Brain, 240x240 px, Slice 59 of 155
FLAIR magnetic resonance.
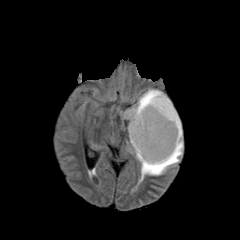
T1-weighted MR.
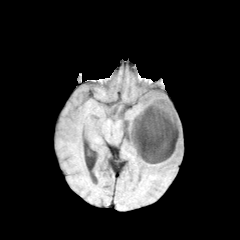
Post-contrast T1-weighted MRI.
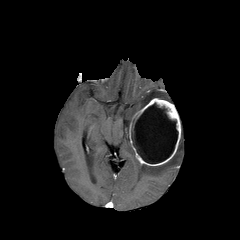
T2-weighted MRI.
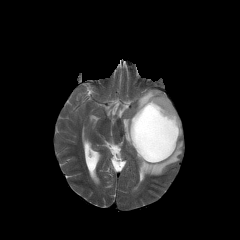
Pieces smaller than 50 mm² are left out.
The 2 largest peritumoral edema regions are bounded by (x1=140, y1=131, x2=183, y2=181), (x1=123, y1=89, x2=170, y2=135). The enhancing tumor is at (x1=129, y1=98, x2=181, y2=166). The largest necrotic tumor core region is bounded by (x1=131, y1=103, x2=177, y2=163).